FLAIR magnetic resonance.
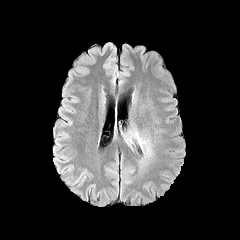
T1-weighted MR.
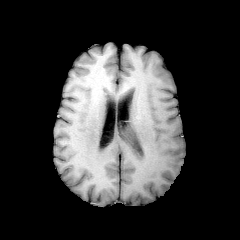
Post-contrast T1-weighted MR.
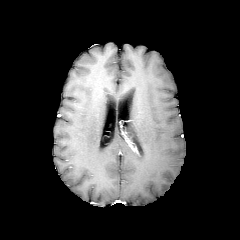
T2-weighted MRI.
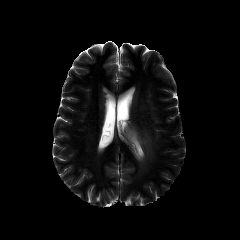
Head | Axial slice
peritumoral edema: (127, 127, 151, 158)